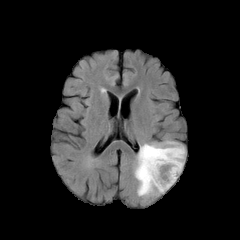
FLAIR MR.
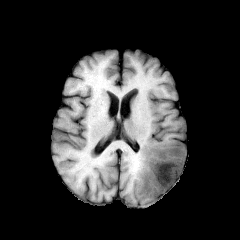
T1-weighted MRI.
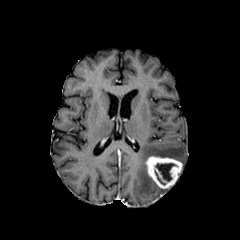
Same slice, post-contrast T1-weighted magnetic resonance.
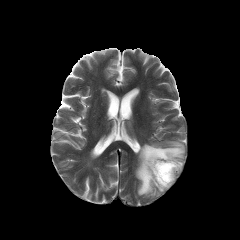
T2-weighted MR.
Axial view | 240x240 px
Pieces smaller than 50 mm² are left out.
enhancing tumor: x1=145 y1=156 x2=182 y2=188 | necrotic tumor core: x1=156 y1=163 x2=175 y2=181 | peritumoral edema: x1=134 y1=140 x2=185 y2=197